FLAIR MRI.
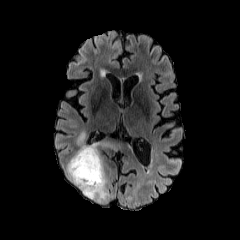
T1-weighted MRI.
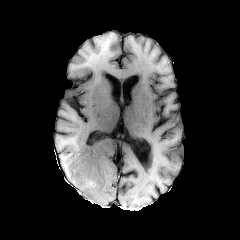
Post-contrast T1-weighted MR image.
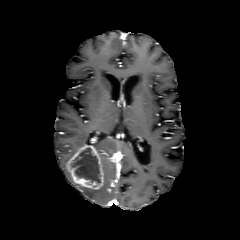
T2-weighted MR image.
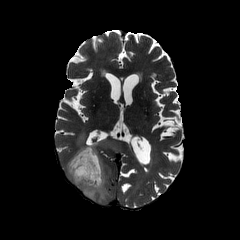
240x240 px. Axial plane.
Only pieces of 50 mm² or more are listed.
<segmentation>
  <enhancing_tumor>69 145 103 189</enhancing_tumor>
  <peritumoral_edema>77 132 84 147, 74 158 109 202, 92 139 118 151, 66 161 73 182</peritumoral_edema>
  <necrotic_tumor_core>71 148 100 183</necrotic_tumor_core>
</segmentation>